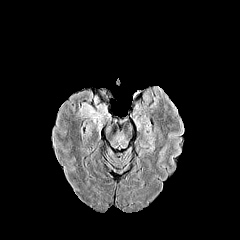
FLAIR MR.
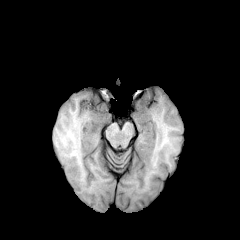
T1-weighted MR image of the same slice.
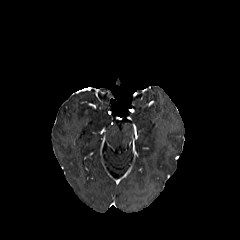
Post-contrast T1-weighted magnetic resonance of the same slice.
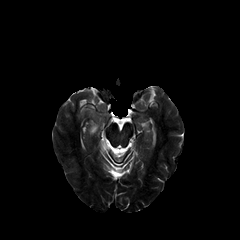
T2-weighted MRI of the same slice.
240x240. Head.
The peritumoral edema is located at (88,109,102,125).